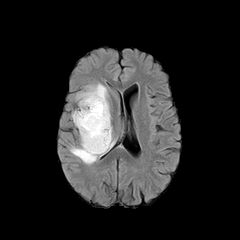
FLAIR magnetic resonance.
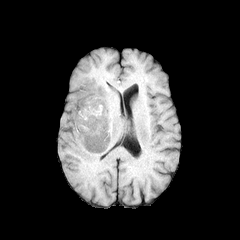
T1-weighted magnetic resonance of the same slice.
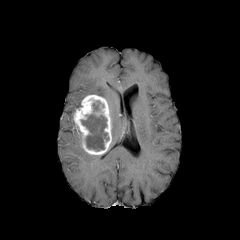
Post-contrast T1-weighted MR.
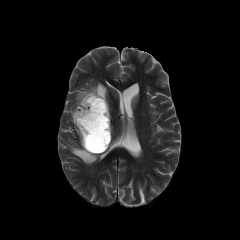
T2-weighted MR image.
Axial plane | Brain
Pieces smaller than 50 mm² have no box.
necrotic_tumor_core:
  - <bbox>81, 114, 108, 151</bbox>
  - <bbox>92, 101, 103, 112</bbox>
peritumoral_edema:
  - <bbox>76, 83, 110, 109</bbox>
  - <bbox>69, 130, 99, 164</bbox>
enhancing_tumor:
  - <bbox>73, 94, 111, 154</bbox>